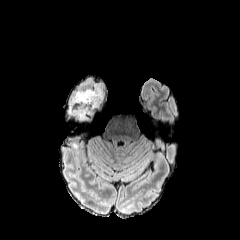
FLAIR MR.
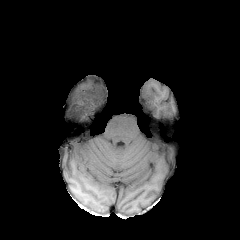
T1-weighted MR image.
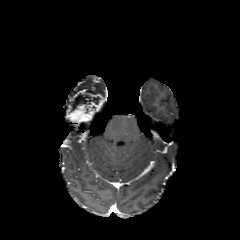
Post-contrast T1-weighted magnetic resonance.
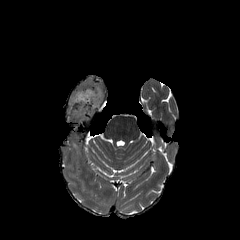
T2-weighted magnetic resonance.
Axial plane
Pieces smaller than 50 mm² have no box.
{
  "necrotic_tumor_core": [
    "<bbox>75, 93, 100, 104</bbox>"
  ],
  "peritumoral_edema": [
    "<bbox>65, 96, 77, 122</bbox>"
  ],
  "enhancing_tumor": [
    "<bbox>69, 90, 103, 122</bbox>"
  ]
}